FLAIR MRI.
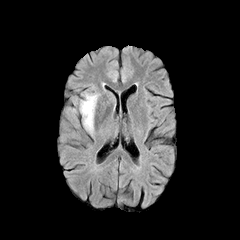
T1-weighted MR image.
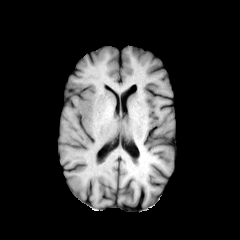
Post-contrast T1-weighted MR image.
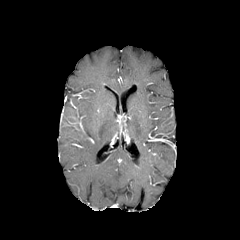
T2-weighted MR image.
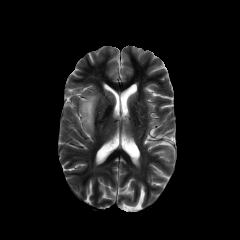
Axial view
{"peritumoral_edema": ["box(80, 92, 98, 133)"]}